Brain. Axial view.
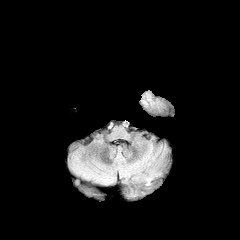
FLAIR MRI.
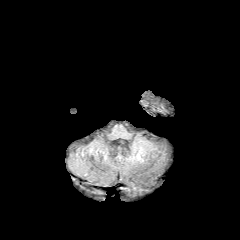
T1-weighted MRI of the same slice.
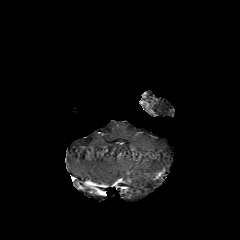
Post-contrast T1-weighted magnetic resonance.
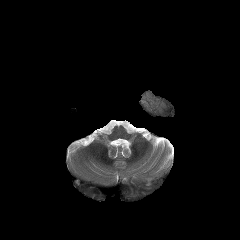
T2-weighted MR of the same slice.
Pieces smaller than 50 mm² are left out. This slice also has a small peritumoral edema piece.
enhancing_tumor:
  - 154:170:163:179